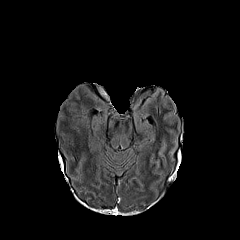
FLAIR MR.
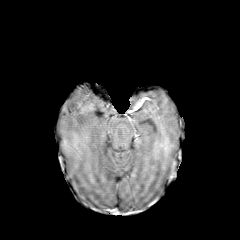
T1-weighted magnetic resonance.
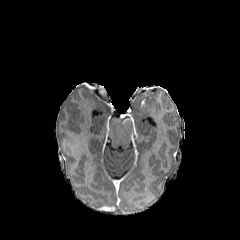
Post-contrast T1-weighted magnetic resonance of the same slice.
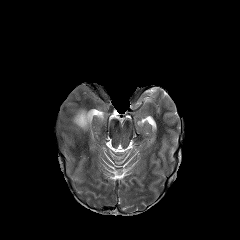
Same slice, T2-weighted MR.
Brain, 240x240 px
{"peritumoral_edema": ["region(77, 110, 88, 125)"]}